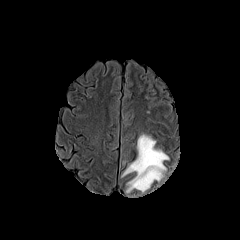
FLAIR MR image.
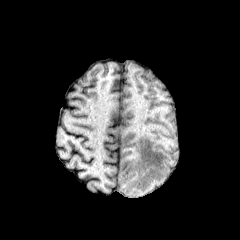
T1-weighted MR image.
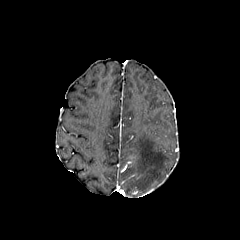
Same slice, post-contrast T1-weighted MR image.
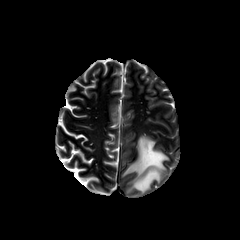
T2-weighted MR image.
240x240
peritumoral edema at 122,134,169,192